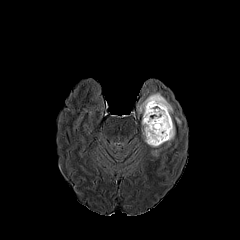
FLAIR MRI.
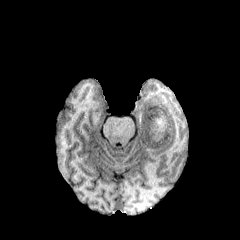
T1-weighted MR.
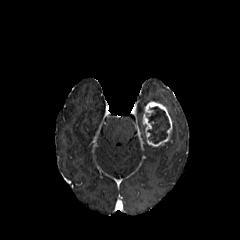
Post-contrast T1-weighted MR.
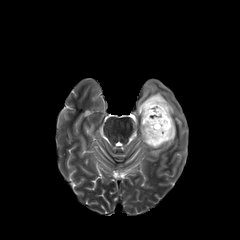
T2-weighted MR.
Head
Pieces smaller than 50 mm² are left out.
The largest peritumoral edema region lies within <bbox>137, 81, 184, 156</bbox>. The necrotic tumor core is at <bbox>148, 107, 169, 143</bbox>. The enhancing tumor is located at <bbox>142, 101, 172, 146</bbox>.